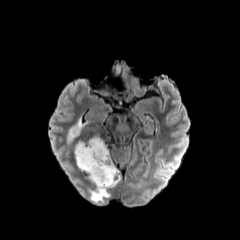
FLAIR MRI.
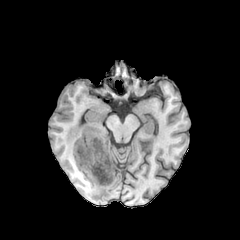
Same slice, T1-weighted magnetic resonance.
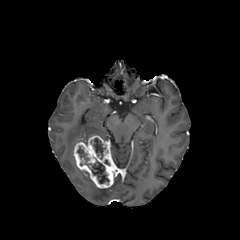
Post-contrast T1-weighted MR image.
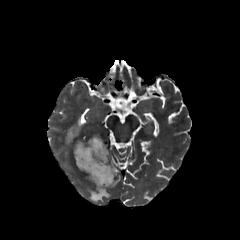
T2-weighted MRI of the same slice.
Brain
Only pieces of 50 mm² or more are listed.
necrotic tumor core: l=93, t=138, r=105, b=159; l=90, t=160, r=109, b=183; l=77, t=146, r=88, b=161
enhancing tumor: l=73, t=135, r=119, b=188
peritumoral edema: l=67, t=120, r=82, b=143; l=109, t=174, r=120, b=187; l=90, t=187, r=109, b=202